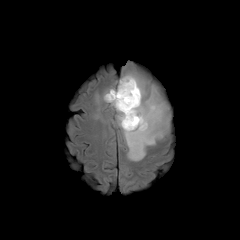
FLAIR MR.
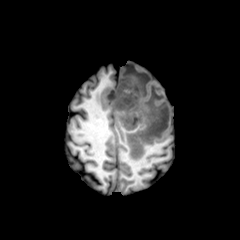
Same slice, T1-weighted MR image.
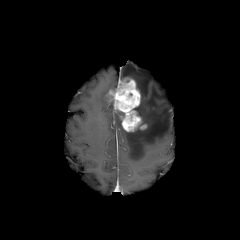
Post-contrast T1-weighted MR.
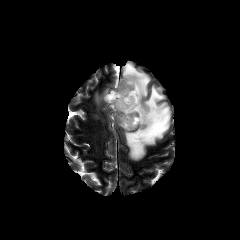
T2-weighted MR image.
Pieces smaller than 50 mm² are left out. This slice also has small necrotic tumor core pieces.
enhancing tumor at 106 77 146 131
peritumoral edema at 102 88 114 109, 115 65 170 161